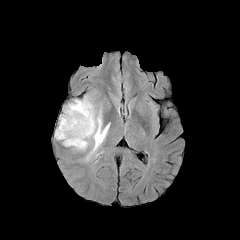
FLAIR magnetic resonance.
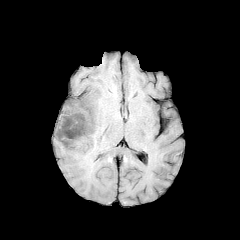
T1-weighted MR.
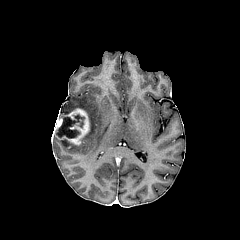
Post-contrast T1-weighted MRI of the same slice.
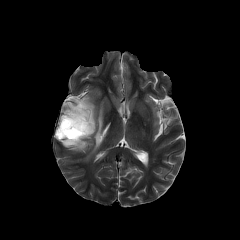
Same slice, T2-weighted MRI.
Head.
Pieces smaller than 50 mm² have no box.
{
  "peritumoral_edema": [
    "box(58, 96, 109, 159)"
  ],
  "enhancing_tumor": [
    "box(55, 108, 90, 145)"
  ],
  "necrotic_tumor_core": [
    "box(56, 115, 84, 138)"
  ]
}